FLAIR MR image.
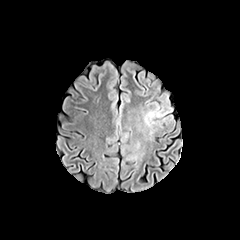
T1-weighted MR.
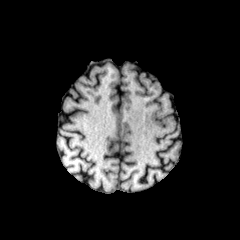
Post-contrast T1-weighted MRI.
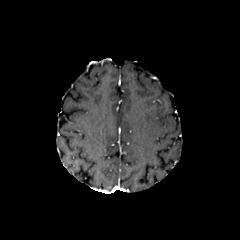
T2-weighted MR image.
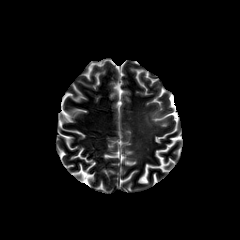
Image size 240x240, Brain
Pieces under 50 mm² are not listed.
The largest peritumoral edema region lies within 142, 110, 160, 126.